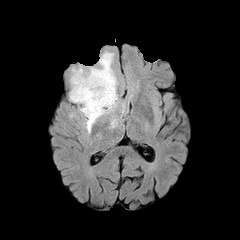
FLAIR MR image.
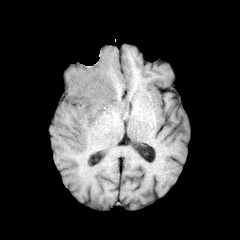
T1-weighted magnetic resonance.
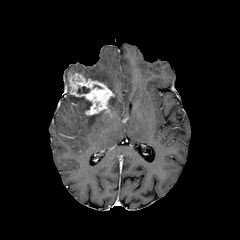
Same slice, post-contrast T1-weighted MR.
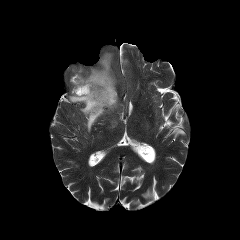
Same slice, T2-weighted MR.
Head
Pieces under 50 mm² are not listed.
The enhancing tumor is at bbox(69, 73, 114, 115). The largest necrotic tumor core region appears at bbox(77, 86, 89, 93). The 2 largest peritumoral edema regions are located at bbox(72, 52, 117, 112); bbox(69, 95, 108, 132).